Axial view. 240x240 px.
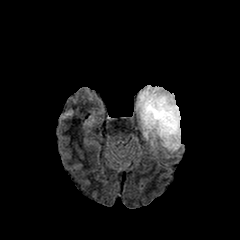
FLAIR MR image.
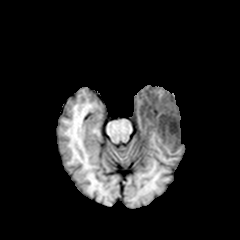
T1-weighted MR.
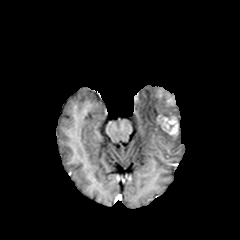
Same slice, post-contrast T1-weighted MR image.
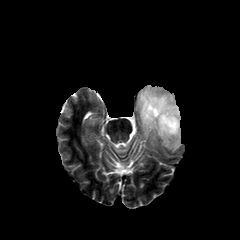
T2-weighted MR image.
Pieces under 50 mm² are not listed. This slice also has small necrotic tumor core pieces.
peritumoral_edema:
  - (x1=136, y1=85, x2=181, y2=151)
enhancing_tumor:
  - (x1=166, y1=95, x2=174, y2=105)
  - (x1=157, y1=115, x2=178, y2=135)